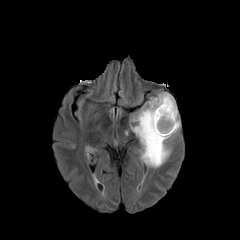
FLAIR magnetic resonance.
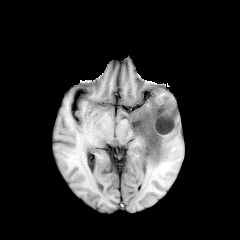
T1-weighted MRI.
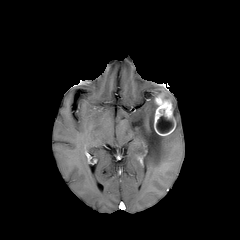
Post-contrast T1-weighted MR image.
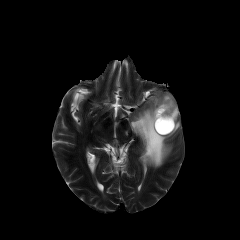
Same slice, T2-weighted magnetic resonance.
Brain | Axial slice
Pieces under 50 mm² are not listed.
The largest peritumoral edema region appears at x1=131 y1=92 x2=180 y2=167. The necrotic tumor core appears at x1=156 y1=116 x2=173 y2=133. The largest enhancing tumor region is bounded by x1=154 y1=94 x2=175 y2=135.